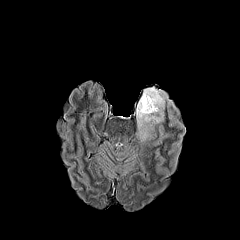
FLAIR magnetic resonance.
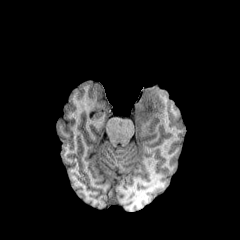
T1-weighted magnetic resonance of the same slice.
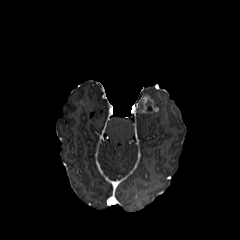
Post-contrast T1-weighted MR image.
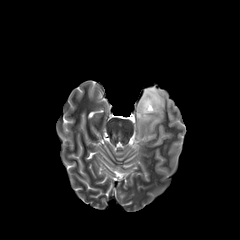
Same slice, T2-weighted magnetic resonance.
Image size 240x240
The enhancing tumor is at 138, 95, 158, 113. The necrotic tumor core lies within 146, 100, 152, 111. The peritumoral edema appears at 136, 87, 167, 140.